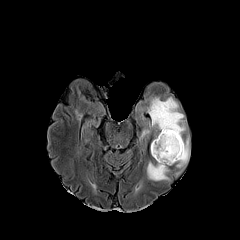
FLAIR MR.
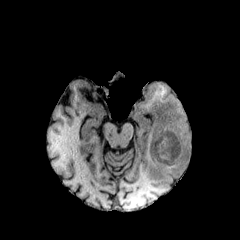
Same slice, T1-weighted MR image.
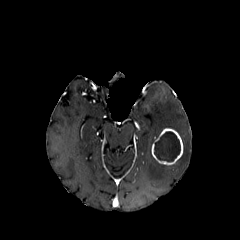
Post-contrast T1-weighted MRI.
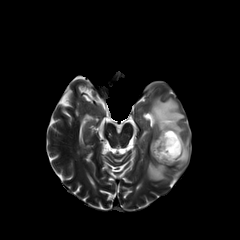
Same slice, T2-weighted MRI.
240x240 px
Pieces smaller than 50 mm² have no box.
necrotic_tumor_core:
  - x1=154 y1=131 x2=180 y2=161
enhancing_tumor:
  - x1=151 y1=128 x2=183 y2=165
peritumoral_edema:
  - x1=148 y1=97 x2=191 y2=168
  - x1=147 y1=161 x2=169 y2=181
  - x1=140 y1=128 x2=150 y2=139